FLAIR MR.
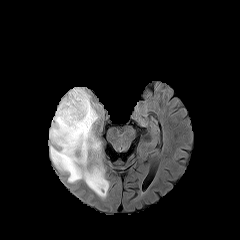
T1-weighted MR.
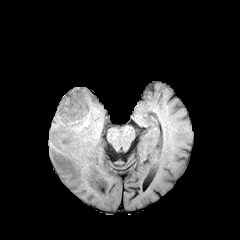
Post-contrast T1-weighted MRI.
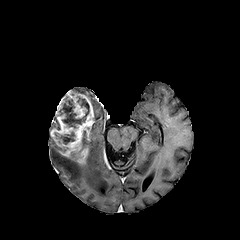
T2-weighted MRI.
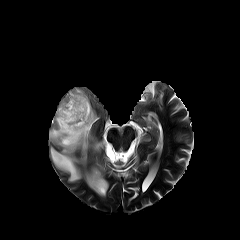
Axial slice | Head
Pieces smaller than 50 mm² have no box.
{"enhancing_tumor": ["<bbox>50, 90, 94, 164</bbox>"], "peritumoral_edema": ["<bbox>73, 88, 99, 122</bbox>", "<bbox>51, 116, 60, 129</bbox>", "<bbox>49, 124, 108, 197</bbox>"], "necrotic_tumor_core": ["<bbox>60, 132, 74, 144</bbox>", "<bbox>59, 97, 89, 127</bbox>"]}